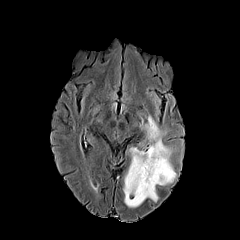
FLAIR MR.
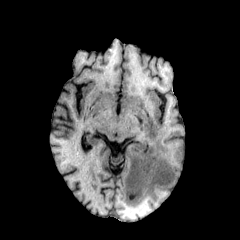
T1-weighted MR image.
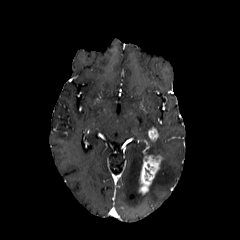
Post-contrast T1-weighted MRI.
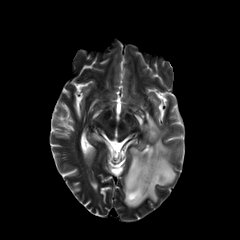
Same slice, T2-weighted MR image.
Image size 240x240
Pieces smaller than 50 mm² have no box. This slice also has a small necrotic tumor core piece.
enhancing_tumor:
  - box(148, 127, 158, 141)
  - box(138, 151, 162, 194)
peritumoral_edema:
  - box(123, 116, 176, 207)